FLAIR MR image.
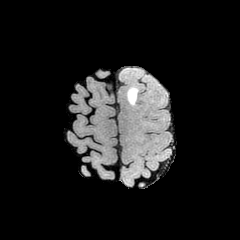
T1-weighted magnetic resonance.
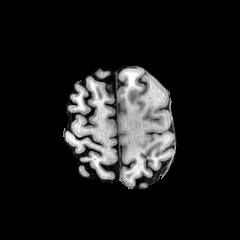
Post-contrast T1-weighted magnetic resonance.
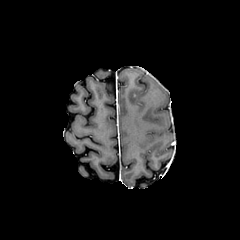
T2-weighted magnetic resonance.
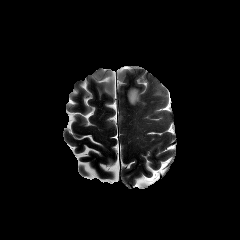
Axial slice
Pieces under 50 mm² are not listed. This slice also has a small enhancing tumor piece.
peritumoral edema: bounding box (127, 87, 138, 105)